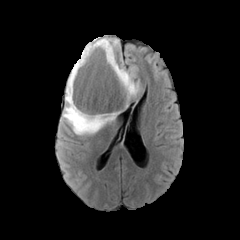
FLAIR magnetic resonance.
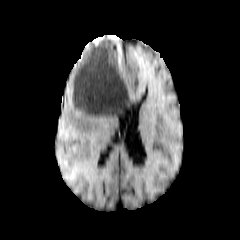
Same slice, T1-weighted MR.
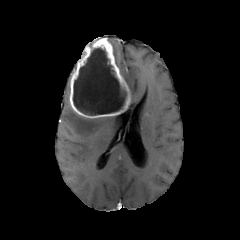
Same slice, post-contrast T1-weighted MRI.
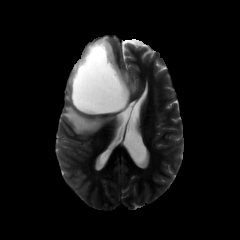
T2-weighted MRI.
Image size 240x240
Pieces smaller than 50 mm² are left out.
Annotated regions:
* peritumoral edema: (x1=116, y1=63, x2=139, y2=97), (x1=105, y1=36, x2=120, y2=48), (x1=62, y1=79, x2=115, y2=135)
* enhancing tumor: (x1=69, y1=37, x2=130, y2=118)
* necrotic tumor core: (x1=73, y1=48, x2=126, y2=114)